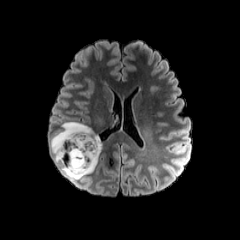
FLAIR MR image.
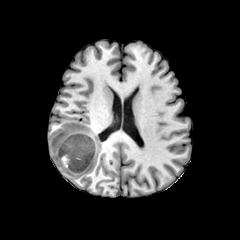
T1-weighted MR.
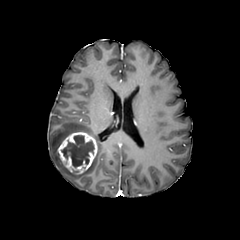
Post-contrast T1-weighted MRI.
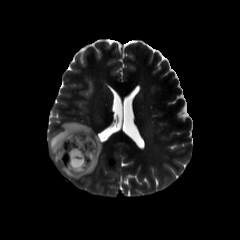
T2-weighted MR.
Axial view | Brain
Segmented structures:
* enhancing tumor: <bbox>57, 132, 97, 174</bbox>
* peritumoral edema: <bbox>49, 121, 101, 180</bbox>
* necrotic tumor core: <bbox>61, 135, 94, 167</bbox>